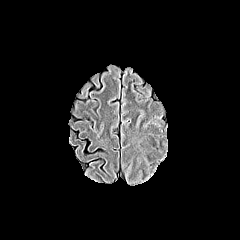
FLAIR MR image.
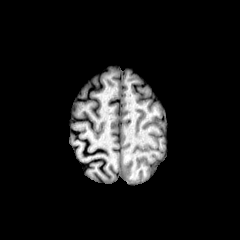
T1-weighted MRI of the same slice.
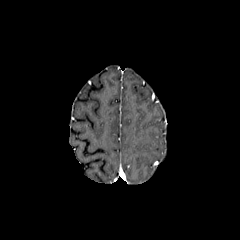
Post-contrast T1-weighted magnetic resonance.
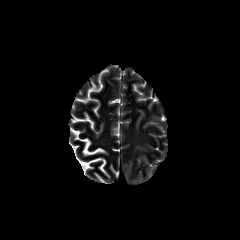
T2-weighted magnetic resonance.
Brain.
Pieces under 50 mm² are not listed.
The largest peritumoral edema region is bounded by l=135, t=109, r=144, b=126.